Slice index 45 | Head
FLAIR MR image.
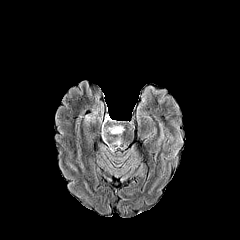
T1-weighted MR image.
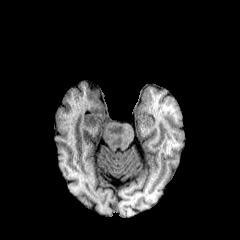
Post-contrast T1-weighted MR.
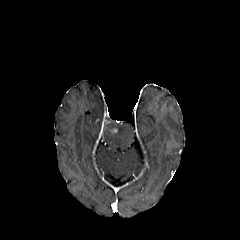
T2-weighted MRI.
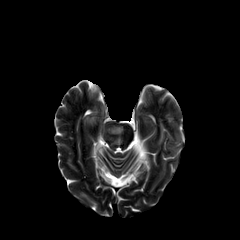
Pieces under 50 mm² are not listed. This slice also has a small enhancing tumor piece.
peritumoral edema: bounding box (left=85, top=106, right=102, bottom=124), (left=103, top=125, right=124, bottom=145)